FLAIR magnetic resonance.
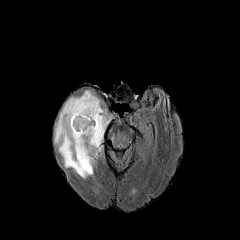
T1-weighted MR.
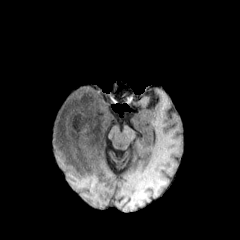
Post-contrast T1-weighted magnetic resonance.
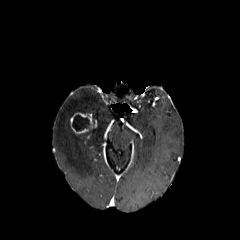
T2-weighted magnetic resonance.
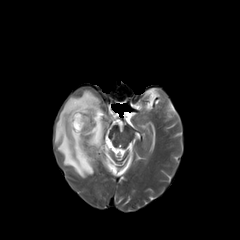
Axial view
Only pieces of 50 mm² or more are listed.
{
  "enhancing_tumor": [
    "bbox(70, 112, 97, 134)"
  ],
  "necrotic_tumor_core": [
    "bbox(72, 114, 90, 131)"
  ],
  "peritumoral_edema": [
    "bbox(54, 90, 113, 178)"
  ]
}